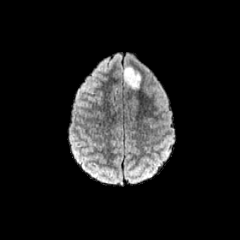
FLAIR magnetic resonance.
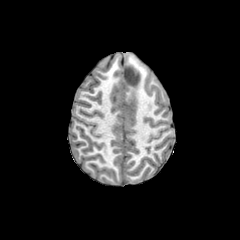
T1-weighted MRI of the same slice.
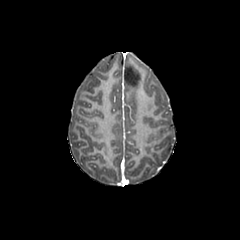
Post-contrast T1-weighted MRI of the same slice.
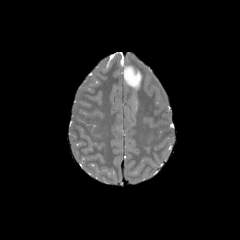
T2-weighted magnetic resonance of the same slice.
Brain | Axial slice
peritumoral edema: left=123, top=66, right=140, bottom=88